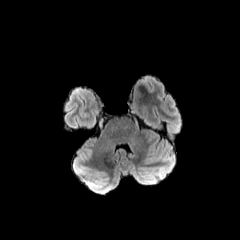
FLAIR magnetic resonance.
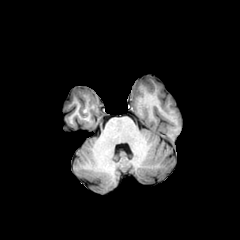
Same slice, T1-weighted magnetic resonance.
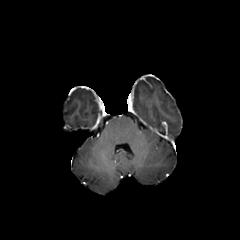
Post-contrast T1-weighted MR image.
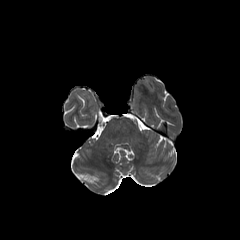
Same slice, T2-weighted MR image.
Brain; Image size 240x240; Axial slice
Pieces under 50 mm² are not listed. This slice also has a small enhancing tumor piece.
Annotated regions:
• peritumoral edema: 137, 78, 154, 91